Head, Axial view
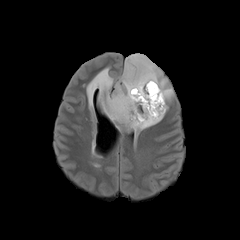
FLAIR MR.
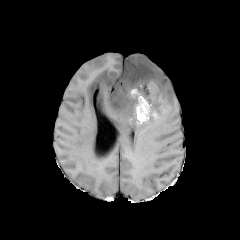
T1-weighted MR.
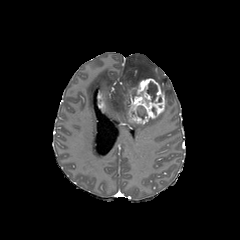
Same slice, post-contrast T1-weighted MR.
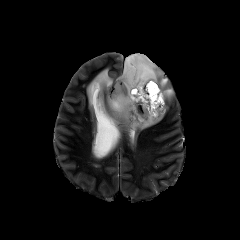
T2-weighted MRI.
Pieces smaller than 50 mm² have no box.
{
  "peritumoral_edema": [
    "rect(86, 53, 173, 133)"
  ],
  "necrotic_tumor_core": [
    "rect(147, 82, 157, 102)",
    "rect(137, 106, 147, 119)"
  ],
  "enhancing_tumor": [
    "rect(125, 78, 165, 124)",
    "rect(98, 92, 105, 111)"
  ]
}